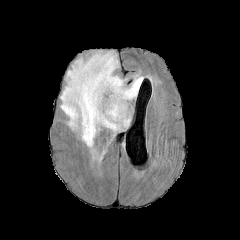
FLAIR MRI.
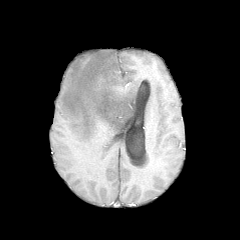
T1-weighted MR.
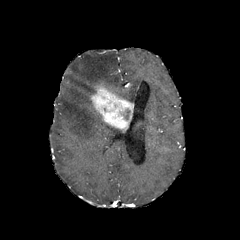
Post-contrast T1-weighted MR image.
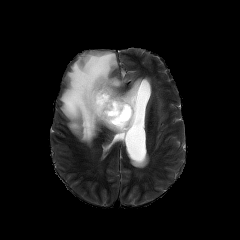
T2-weighted MR image.
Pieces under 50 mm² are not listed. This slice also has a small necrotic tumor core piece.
Segmented structures:
- enhancing tumor: <box>90,81,133,130</box>
- peritumoral edema: <box>60,51,143,148</box>